Brain. Slice 34 of 155.
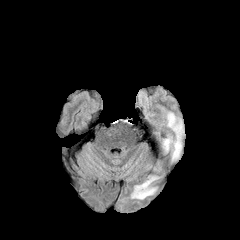
FLAIR magnetic resonance.
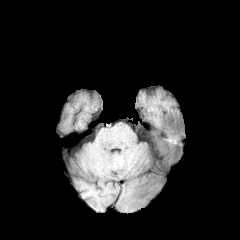
T1-weighted MR.
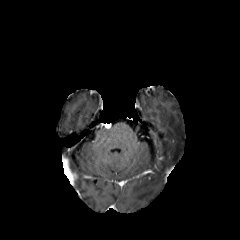
Post-contrast T1-weighted magnetic resonance of the same slice.
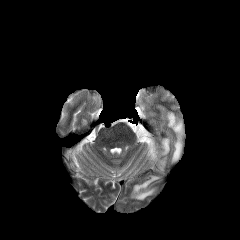
Same slice, T2-weighted MR.
peritumoral edema at (166,112,184,161), (131,175,159,199), (162,138,171,153)